Slice 110 of 155
FLAIR MR.
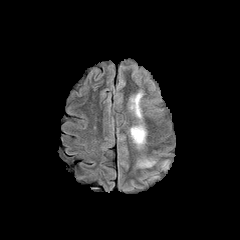
T1-weighted MRI.
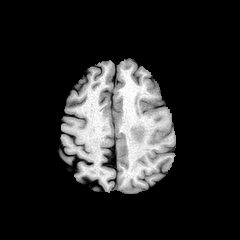
Post-contrast T1-weighted MR image.
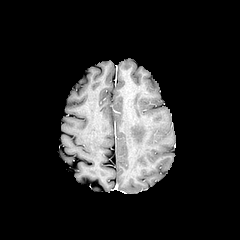
T2-weighted MR.
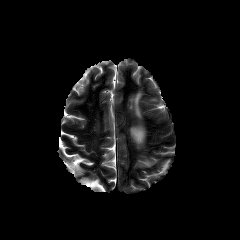
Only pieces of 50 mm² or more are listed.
peritumoral_edema:
  - (left=131, top=126, right=145, bottom=144)
  - (left=134, top=93, right=140, bottom=117)